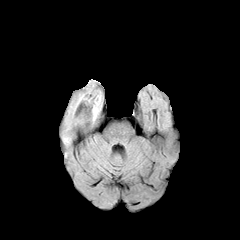
FLAIR MR image.
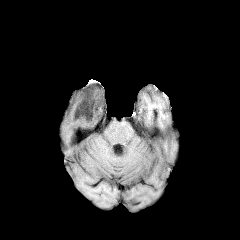
Same slice, T1-weighted magnetic resonance.
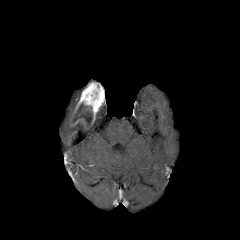
Post-contrast T1-weighted MR image of the same slice.
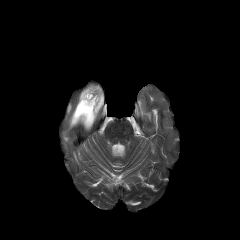
Same slice, T2-weighted magnetic resonance.
Head | Axial plane | Image size 240x240
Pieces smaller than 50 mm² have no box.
The enhancing tumor is located at {"x1": 70, "y1": 82, "x2": 104, "y2": 129}. The largest peritumoral edema region is at {"x1": 63, "y1": 92, "x2": 80, "y2": 142}. The necrotic tumor core is at {"x1": 73, "y1": 104, "x2": 91, "y2": 124}.